FLAIR MRI.
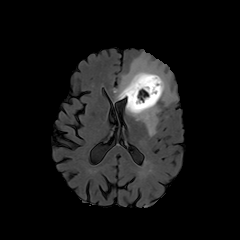
T1-weighted MR.
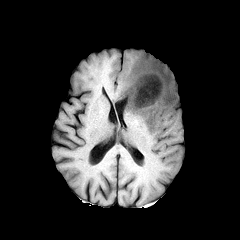
Post-contrast T1-weighted magnetic resonance.
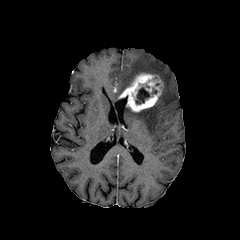
T2-weighted MR image.
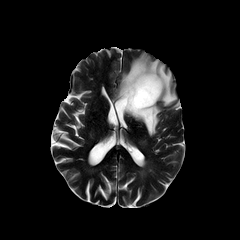
Axial slice; 240x240 px; Head
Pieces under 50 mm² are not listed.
Segmented structures:
- necrotic tumor core: 135, 87, 149, 104
- peritumoral edema: 125, 103, 161, 136; 115, 52, 177, 106
- enhancing tumor: 118, 73, 163, 112